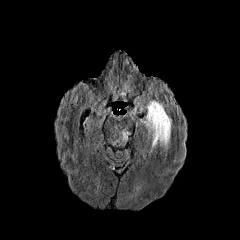
FLAIR MRI.
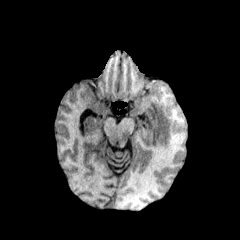
Same slice, T1-weighted MR image.
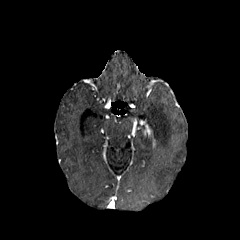
Same slice, post-contrast T1-weighted MR.
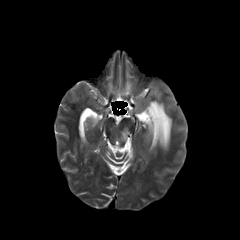
Same slice, T2-weighted MRI.
Axial plane | Head
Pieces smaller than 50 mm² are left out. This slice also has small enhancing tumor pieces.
peritumoral edema at left=144, top=101, right=171, bottom=149